FLAIR MR image.
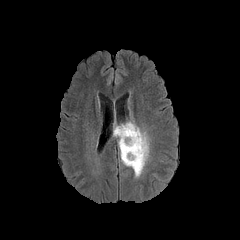
T1-weighted MRI.
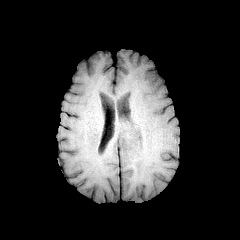
Post-contrast T1-weighted magnetic resonance.
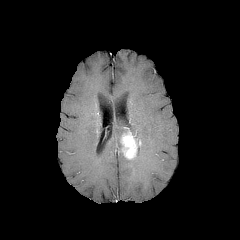
T2-weighted MRI.
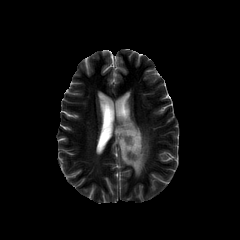
Head; Axial plane
peritumoral_edema:
  - box=[113, 120, 148, 177]
enhancing_tumor:
  - box=[121, 129, 141, 159]